FLAIR magnetic resonance.
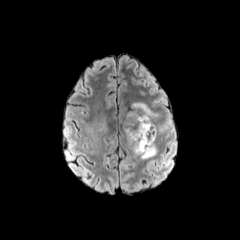
T1-weighted MRI.
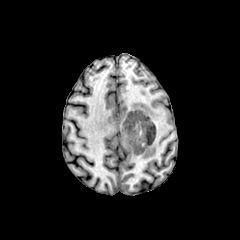
Post-contrast T1-weighted MRI.
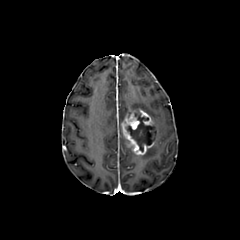
T2-weighted MR image.
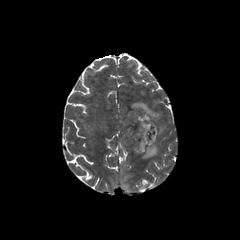
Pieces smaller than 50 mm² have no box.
peritumoral edema: <box>139,144,156,159</box>, <box>131,102,158,120</box>, <box>155,125,167,140</box> | enhancing tumor: <box>121,109,154,155</box> | necrotic tumor core: <box>127,112,153,151</box>